Slice 46 of 155. Image width 240 mm.
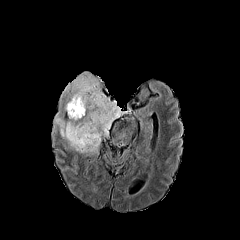
FLAIR MR image.
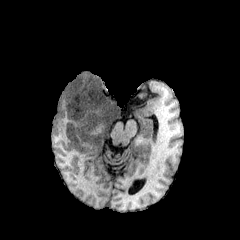
Same slice, T1-weighted MRI.
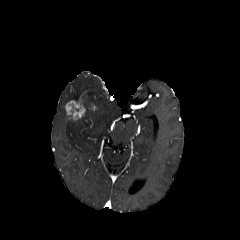
Post-contrast T1-weighted magnetic resonance.
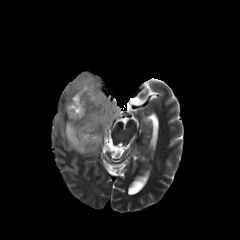
T2-weighted MRI of the same slice.
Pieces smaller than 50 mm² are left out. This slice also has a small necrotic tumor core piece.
enhancing tumor: [x1=65, y1=93, x2=96, y2=120] | peritumoral edema: [x1=55, y1=73, x2=121, y2=153]